FLAIR MR.
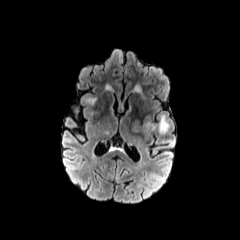
T1-weighted MR.
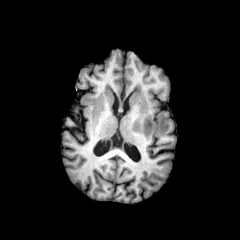
Post-contrast T1-weighted MRI.
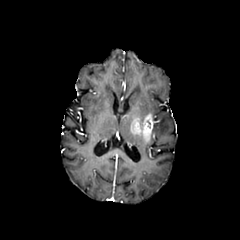
T2-weighted MRI.
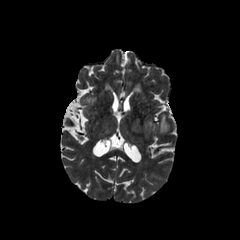
Axial slice
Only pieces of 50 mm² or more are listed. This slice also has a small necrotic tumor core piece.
peritumoral edema at l=158, t=114, r=169, b=134
enhancing tumor at l=131, t=114, r=153, b=140